Axial plane
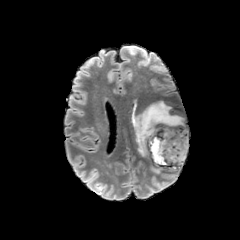
FLAIR MRI.
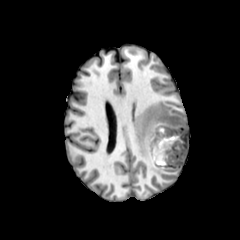
T1-weighted MR image.
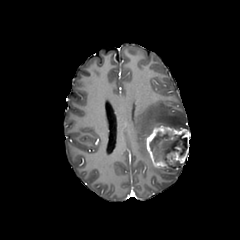
Same slice, post-contrast T1-weighted MRI.
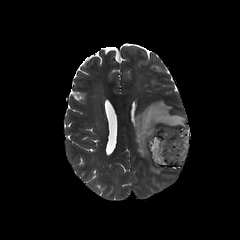
T2-weighted magnetic resonance.
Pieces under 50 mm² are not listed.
* necrotic tumor core: [149,132,187,165]
* enhancing tumor: [146,125,189,167]
* peritumoral edema: [150,165,162,173], [131,99,187,157]